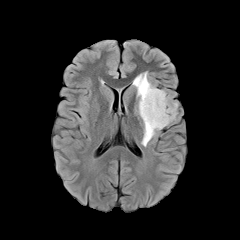
FLAIR magnetic resonance.
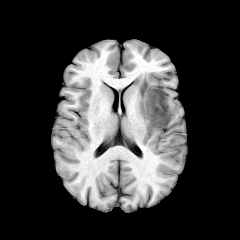
Same slice, T1-weighted magnetic resonance.
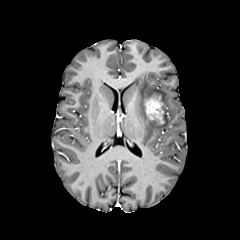
Same slice, post-contrast T1-weighted MR image.
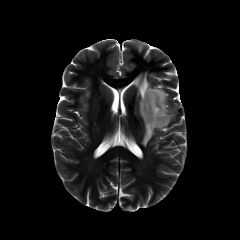
T2-weighted magnetic resonance.
240x240. Axial slice. Head.
The enhancing tumor appears at (left=145, top=95, right=164, bottom=123). The peritumoral edema is at (left=133, top=72, right=177, bottom=147).